FLAIR magnetic resonance.
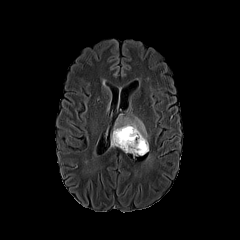
T1-weighted magnetic resonance.
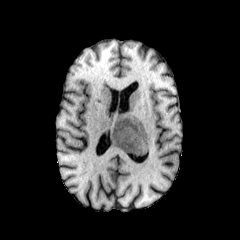
Post-contrast T1-weighted magnetic resonance.
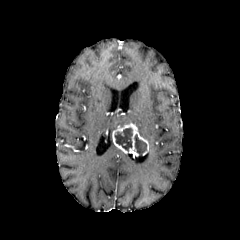
T2-weighted magnetic resonance.
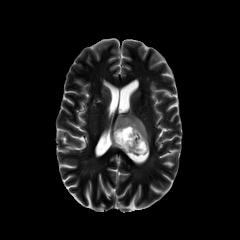
Head
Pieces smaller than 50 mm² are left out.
enhancing_tumor:
  - (112, 122, 148, 156)
peritumoral_edema:
  - (113, 115, 148, 139)
necrotic_tumor_core:
  - (134, 134, 146, 155)
  - (115, 128, 132, 151)